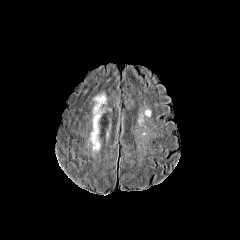
FLAIR MR.
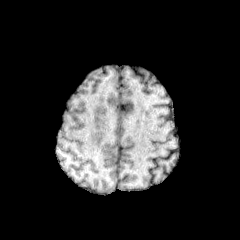
T1-weighted magnetic resonance.
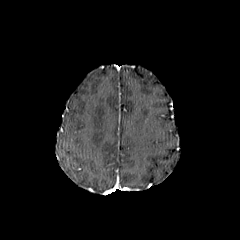
Post-contrast T1-weighted MRI.
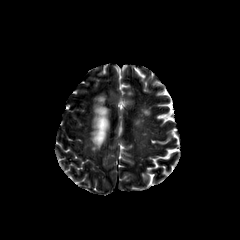
T2-weighted MRI.
Head. 240x240. Axial plane.
Annotated regions:
• peritumoral edema: {"x1": 95, "y1": 95, "x2": 105, "y2": 110}